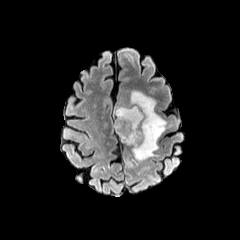
FLAIR MR image.
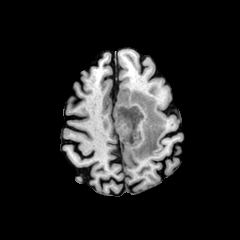
T1-weighted MR image of the same slice.
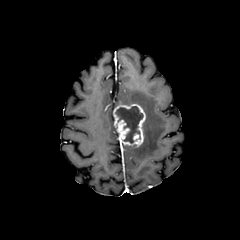
Same slice, post-contrast T1-weighted MR image.
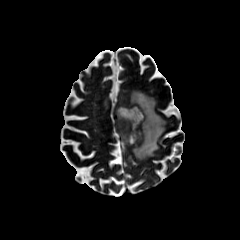
Same slice, T2-weighted MR image.
240x240.
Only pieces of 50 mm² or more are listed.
peritumoral edema: {"x1": 124, "y1": 90, "x2": 166, "y2": 160}
necrotic tumor core: {"x1": 116, "y1": 106, "x2": 143, "y2": 143}
enhancing tumor: {"x1": 114, "y1": 102, "x2": 145, "y2": 146}